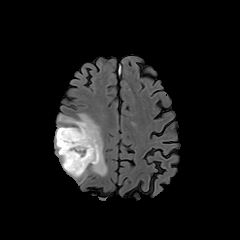
FLAIR MRI.
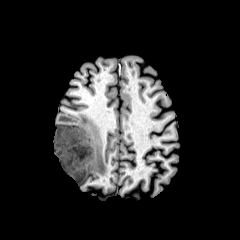
T1-weighted MR of the same slice.
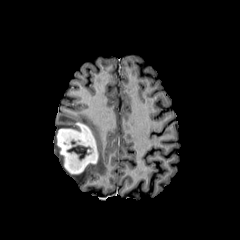
Post-contrast T1-weighted MR.
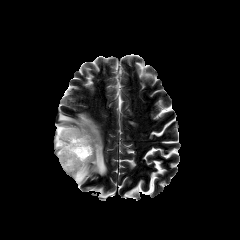
T2-weighted MR of the same slice.
240x240 px | Axial plane
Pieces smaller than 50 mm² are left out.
enhancing tumor: (left=57, top=122, right=98, bottom=174) | peritumoral edema: (left=54, top=113, right=107, bottom=184) | necrotic tumor core: (left=67, top=145, right=90, bottom=160)